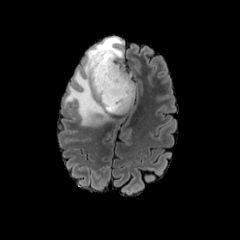
FLAIR MRI.
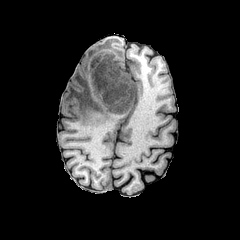
T1-weighted MR.
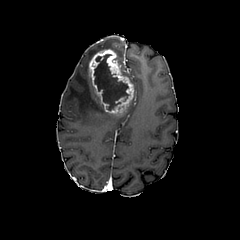
Same slice, post-contrast T1-weighted MR.
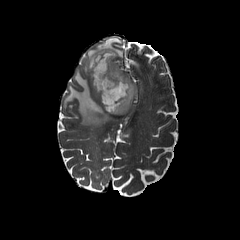
Same slice, T2-weighted MRI.
Brain
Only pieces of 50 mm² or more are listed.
peritumoral_edema:
  - (123, 84, 135, 113)
  - (121, 66, 133, 83)
  - (64, 37, 124, 126)
necrotic_tumor_core:
  - (94, 54, 128, 110)
enhancing_tumor:
  - (88, 49, 134, 114)